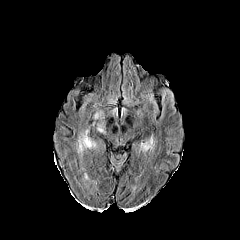
FLAIR MRI.
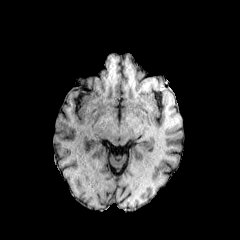
T1-weighted MRI.
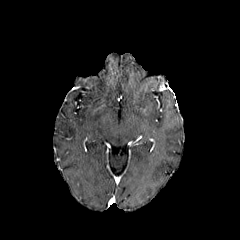
Post-contrast T1-weighted MRI.
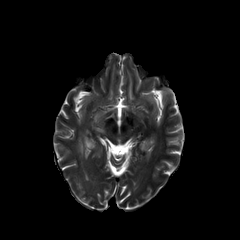
Same slice, T2-weighted MR.
Brain; Axial plane
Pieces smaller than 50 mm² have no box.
peritumoral edema: rect(140, 142, 150, 151); rect(78, 130, 95, 153)